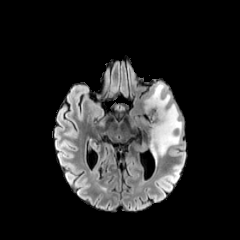
FLAIR MRI.
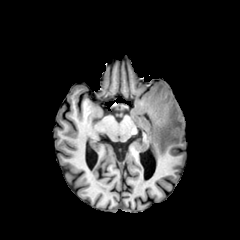
T1-weighted MRI of the same slice.
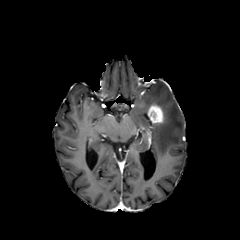
Post-contrast T1-weighted MRI of the same slice.
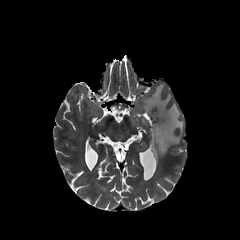
T2-weighted MR of the same slice.
Head. Axial view.
The peritumoral edema is located at 141:82:183:164. The enhancing tumor is at 147:103:164:124.